240x240 px
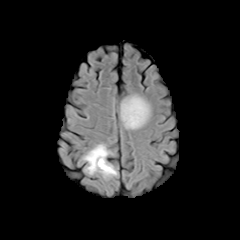
FLAIR MR image.
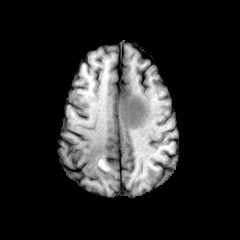
T1-weighted MR image.
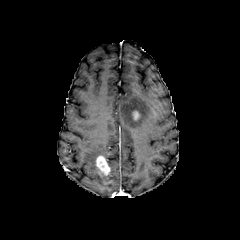
Post-contrast T1-weighted MR image of the same slice.
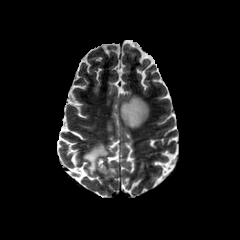
Same slice, T2-weighted MRI.
enhancing tumor: box(132, 111, 139, 120); box(96, 155, 110, 175)
peritumoral edema: box(83, 144, 110, 174); box(103, 163, 117, 176); box(120, 95, 149, 128)